FLAIR MR image.
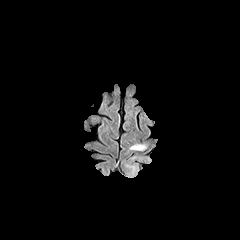
T1-weighted MRI.
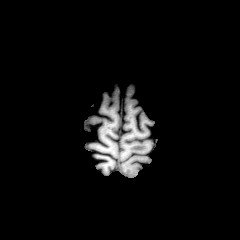
Post-contrast T1-weighted MRI.
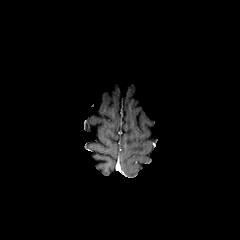
T2-weighted MRI.
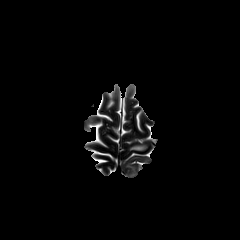
Axial slice, 240x240 px, Brain
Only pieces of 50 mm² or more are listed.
The largest peritumoral edema region is bounded by box=[129, 143, 147, 151].